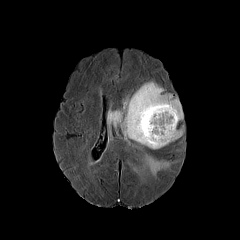
FLAIR MR.
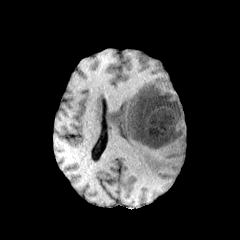
T1-weighted MR of the same slice.
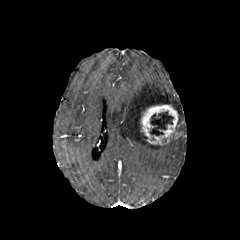
Post-contrast T1-weighted MRI.
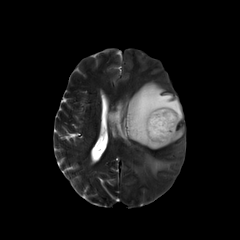
T2-weighted MRI.
Axial view; 240x240
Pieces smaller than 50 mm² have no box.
<segmentation>
  <necrotic_tumor_core>bbox=[150, 111, 173, 135]</necrotic_tumor_core>
  <enhancing_tumor>bbox=[140, 104, 181, 145]</enhancing_tumor>
  <peritumoral_edema>bbox=[107, 81, 183, 175]</peritumoral_edema>
</segmentation>